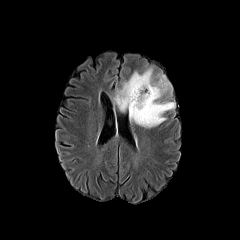
FLAIR magnetic resonance.
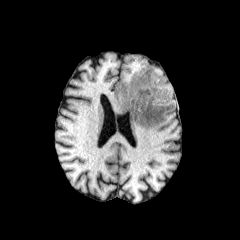
T1-weighted MR.
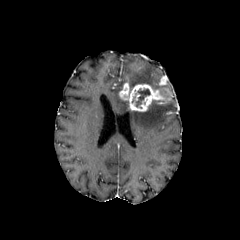
Same slice, post-contrast T1-weighted MR image.
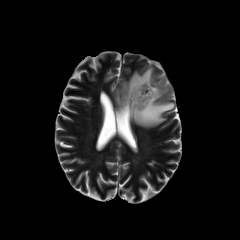
T2-weighted MR.
Axial slice | Brain
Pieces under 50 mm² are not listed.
necrotic tumor core: bounding box x1=135 y1=88 x2=150 y2=107
enhancing tumor: bounding box x1=159 y1=76 x2=167 y2=85, x1=119 y1=83 x2=162 y2=111
peritumoral edema: bounding box x1=123 y1=67 x2=169 y2=94, x1=113 y1=89 x2=128 y2=111, x1=129 y1=100 x2=175 y2=128